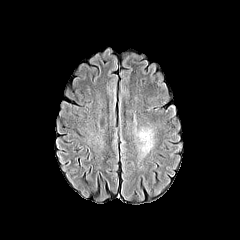
FLAIR MR.
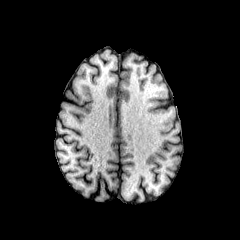
T1-weighted MR image.
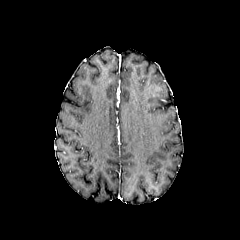
Post-contrast T1-weighted magnetic resonance.
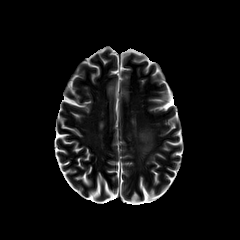
T2-weighted magnetic resonance.
Image size 240x240. Head. Axial view.
peritumoral edema: left=140, top=130, right=151, bottom=154